Slice index 75 | Head | Image width 240 mm
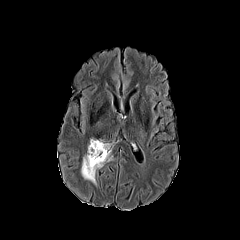
FLAIR MRI.
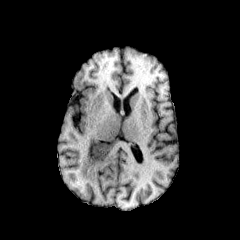
T1-weighted MR of the same slice.
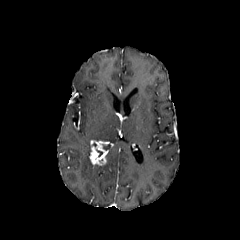
Post-contrast T1-weighted magnetic resonance of the same slice.
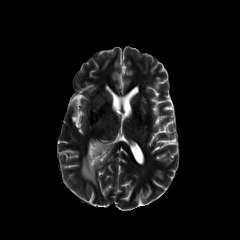
T2-weighted MR of the same slice.
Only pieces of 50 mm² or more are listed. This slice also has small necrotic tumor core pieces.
Findings:
* enhancing tumor: <box>89,140,108,165</box>
* peritumoral edema: <box>105,145,113,161</box>, <box>81,145,102,185</box>